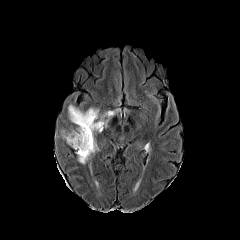
FLAIR magnetic resonance.
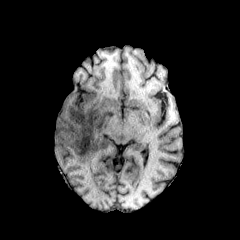
T1-weighted MR image.
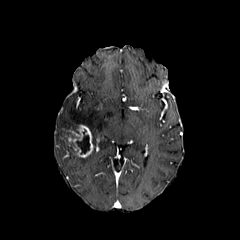
Post-contrast T1-weighted MR.
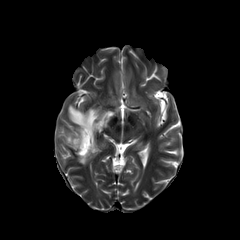
T2-weighted MR.
Image size 240x240 | Axial plane
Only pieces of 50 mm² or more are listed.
The 2 largest peritumoral edema regions are located at [x1=68, y1=105, x2=114, y2=185], [x1=62, y1=130, x2=69, y2=143]. The largest necrotic tumor core region is located at [x1=76, y1=130, x2=89, y2=154]. The enhancing tumor is at [x1=68, y1=124, x2=93, y2=157].